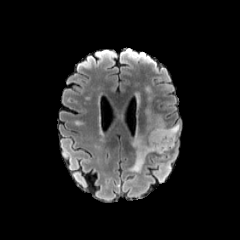
FLAIR MRI.
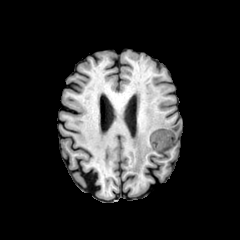
T1-weighted MRI.
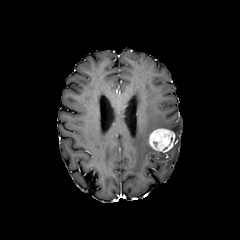
Same slice, post-contrast T1-weighted MRI.
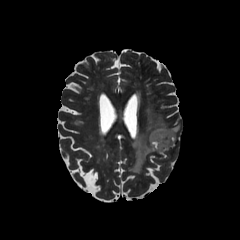
T2-weighted magnetic resonance.
Image size 240x240. Brain.
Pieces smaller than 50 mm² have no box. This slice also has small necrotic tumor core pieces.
peritumoral edema at region(128, 86, 180, 172)
enhancing tumor at region(149, 128, 175, 152)